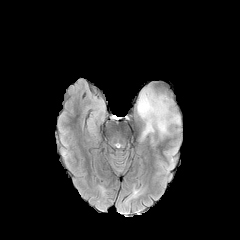
FLAIR magnetic resonance.
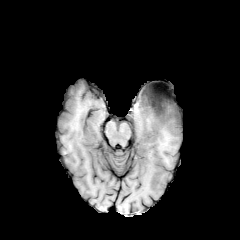
Same slice, T1-weighted MRI.
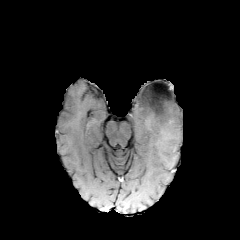
Same slice, post-contrast T1-weighted MR image.
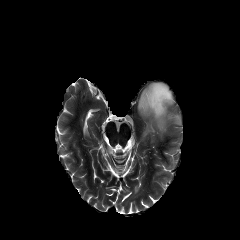
T2-weighted MR.
Head.
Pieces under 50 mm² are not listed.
The necrotic tumor core is located at [143, 83, 171, 115]. The largest peritumoral edema region appears at [137, 86, 180, 138].